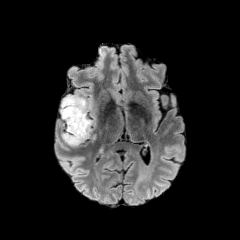
FLAIR magnetic resonance.
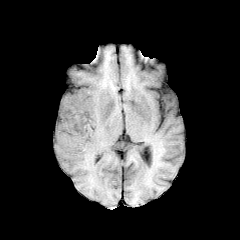
T1-weighted magnetic resonance of the same slice.
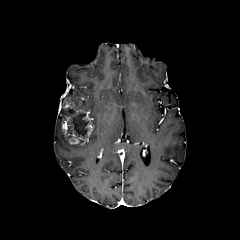
Same slice, post-contrast T1-weighted MRI.
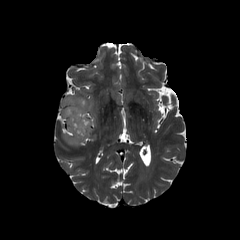
T2-weighted MR.
Brain
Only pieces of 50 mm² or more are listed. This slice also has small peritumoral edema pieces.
necrotic tumor core: <box>64,108,88,137</box>
enhancing tumor: <box>60,97,93,144</box>